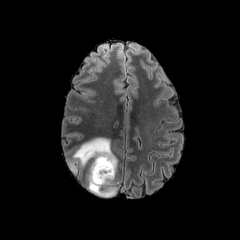
FLAIR MR.
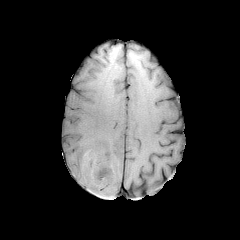
Same slice, T1-weighted MR image.
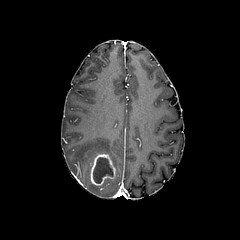
Same slice, post-contrast T1-weighted magnetic resonance.
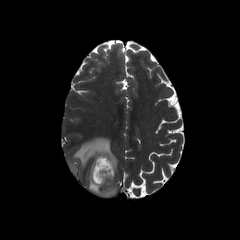
T2-weighted magnetic resonance.
240x240 px. Axial view.
The necrotic tumor core appears at rect(93, 157, 113, 183). The peritumoral edema lies within rect(68, 137, 117, 197). The enhancing tumor lies within rect(84, 152, 116, 186).